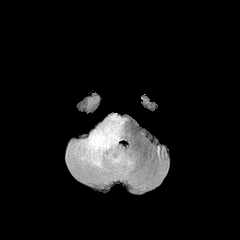
FLAIR MR image.
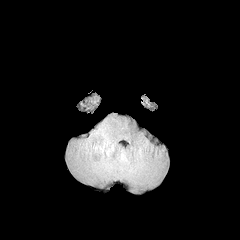
T1-weighted MRI of the same slice.
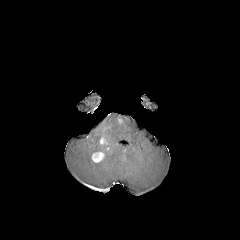
Same slice, post-contrast T1-weighted magnetic resonance.
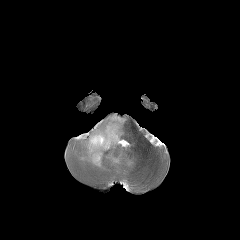
T2-weighted MRI.
Axial view
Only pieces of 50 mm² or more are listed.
enhancing tumor: 91:151:104:162, 97:136:108:145 | peritumoral edema: 66:113:134:181